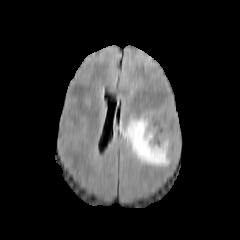
FLAIR MR.
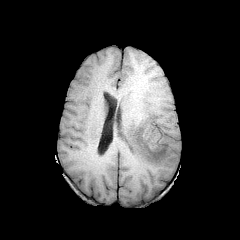
T1-weighted MR.
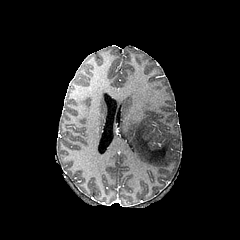
Post-contrast T1-weighted MRI.
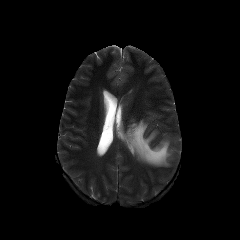
T2-weighted MRI.
Head.
peritumoral edema: x1=122, y1=117, x2=170, y2=166